FLAIR MRI.
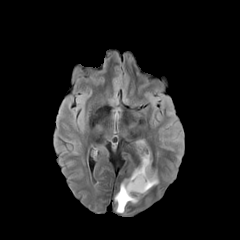
T1-weighted MR.
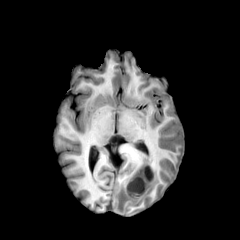
Post-contrast T1-weighted MRI.
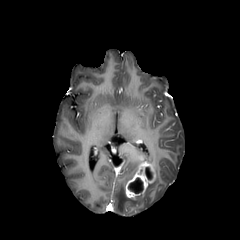
T2-weighted MR image.
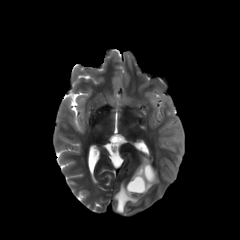
Axial slice | Brain
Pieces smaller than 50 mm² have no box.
necrotic tumor core — {"x1": 128, "y1": 178, "x2": 143, "y2": 193}, {"x1": 145, "y1": 167, "x2": 152, "y2": 179}
peritumoral edema — {"x1": 115, "y1": 180, "x2": 138, "y2": 212}, {"x1": 145, "y1": 172, "x2": 158, "y2": 192}
enhancing tumor — {"x1": 125, "y1": 157, "x2": 155, "y2": 198}